240x240 px, Axial slice, Head
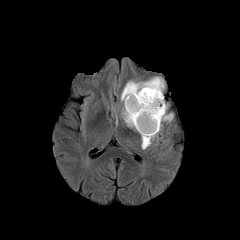
FLAIR MR.
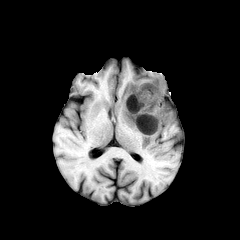
T1-weighted MRI of the same slice.
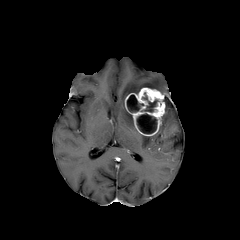
Same slice, post-contrast T1-weighted magnetic resonance.
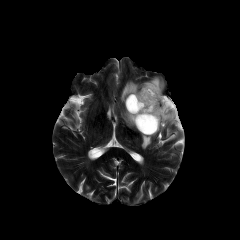
T2-weighted magnetic resonance of the same slice.
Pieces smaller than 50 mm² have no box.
Annotated regions:
- enhancing tumor: (125,87,165,136)
- necrotic tumor core: (144,100,157,112), (137,114,156,133), (127,95,143,111)
- peritumoral edema: (120,76,164,127), (141,134,156,149), (162,102,173,121)